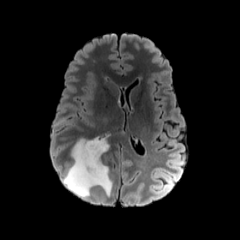
FLAIR MRI.
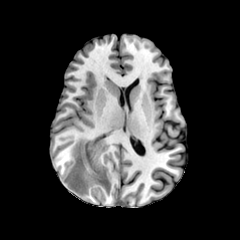
T1-weighted MR image of the same slice.
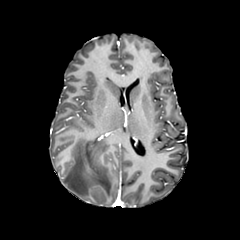
Same slice, post-contrast T1-weighted MR.
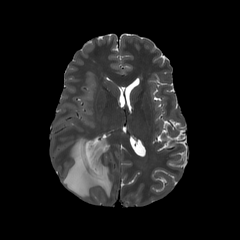
T2-weighted MRI.
Findings:
* peritumoral edema: region(63, 133, 112, 198)